FLAIR MR.
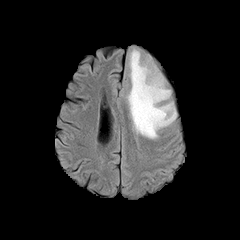
T1-weighted MR.
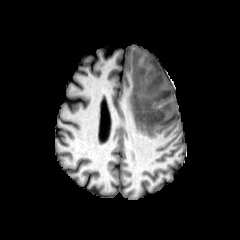
Post-contrast T1-weighted MRI.
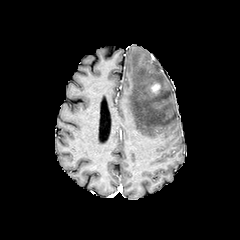
T2-weighted MR.
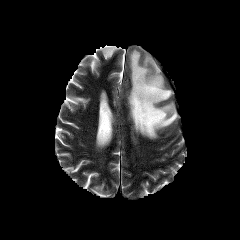
Axial view
Segmented structures:
* enhancing tumor: (left=150, top=82, right=160, bottom=94)
* peritumoral edema: (left=127, top=49, right=176, bottom=138)